FLAIR MRI.
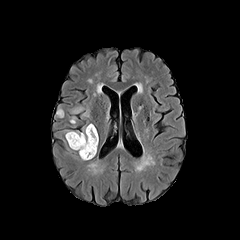
T1-weighted MRI.
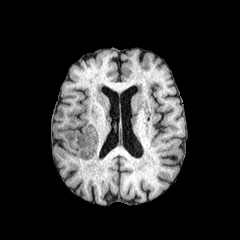
Post-contrast T1-weighted MR image.
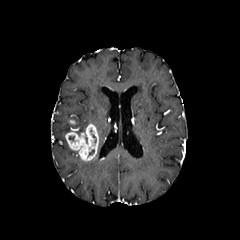
T2-weighted MR image.
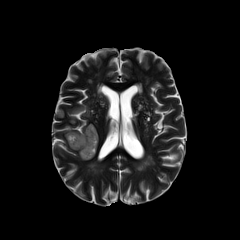
240x240 px
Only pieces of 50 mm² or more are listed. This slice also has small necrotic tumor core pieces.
- peritumoral edema: (73,107,82,113)
- enhancing tumor: (65,123,98,160)